Axial slice. Brain.
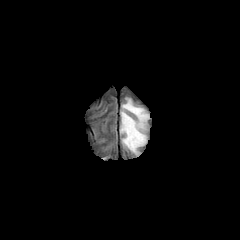
FLAIR MR image.
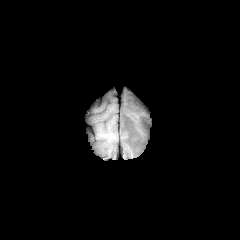
T1-weighted MR image of the same slice.
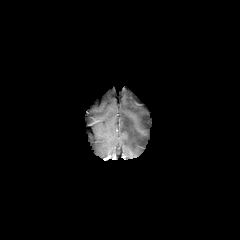
Post-contrast T1-weighted MR image of the same slice.
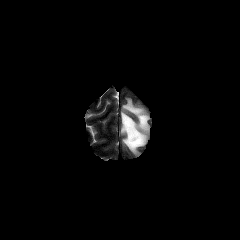
T2-weighted magnetic resonance.
peritumoral edema: 120:98:149:156